FLAIR MR image.
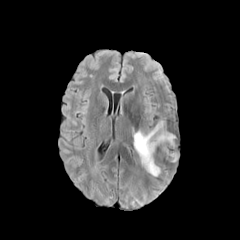
T1-weighted MR image.
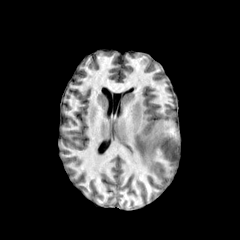
Post-contrast T1-weighted MR.
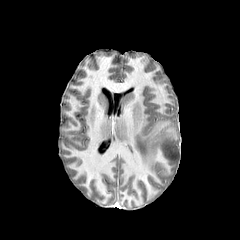
T2-weighted MR image.
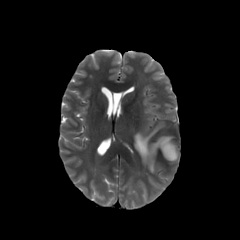
Head
peritumoral edema — [x1=163, y1=144, x2=178, y2=162], [x1=133, y1=120, x2=175, y2=175]